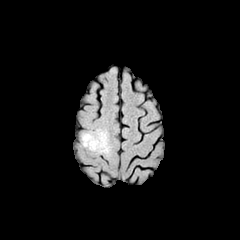
FLAIR magnetic resonance.
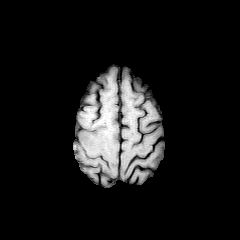
T1-weighted MRI of the same slice.
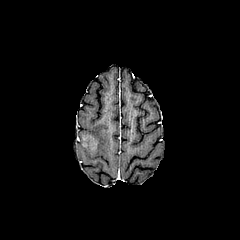
Post-contrast T1-weighted MR image.
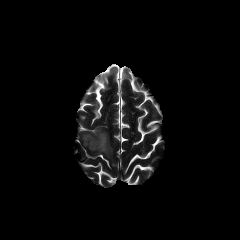
T2-weighted MR image.
Head. Image size 240x240.
- peritumoral edema: x1=77, y1=128, x2=110, y2=158
- enhancing tumor: x1=80, y1=132, x2=98, y2=154